FLAIR MR.
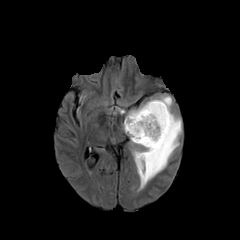
T1-weighted MRI.
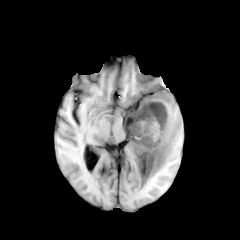
Post-contrast T1-weighted MR image.
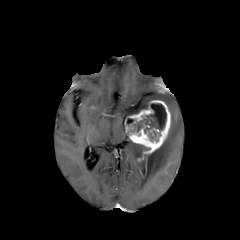
T2-weighted MR.
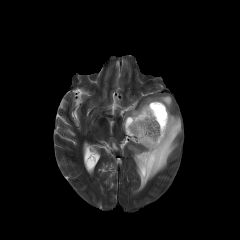
240x240; Head
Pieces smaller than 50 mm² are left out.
{
  "enhancing_tumor": [
    "124 100 170 161"
  ],
  "peritumoral_edema": [
    "127 95 181 190"
  ],
  "necrotic_tumor_core": [
    "144 103 166 132"
  ]
}